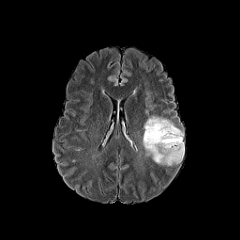
FLAIR MR.
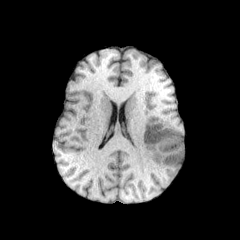
Same slice, T1-weighted MR.
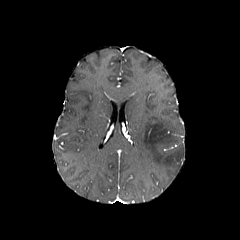
Post-contrast T1-weighted magnetic resonance of the same slice.
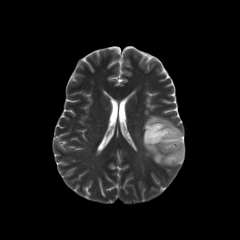
T2-weighted magnetic resonance of the same slice.
Axial slice
<segmentation>
  <peritumoral_edema><bbox>143, 116, 184, 165</bbox></peritumoral_edema>
</segmentation>